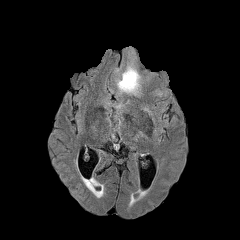
FLAIR MR image.
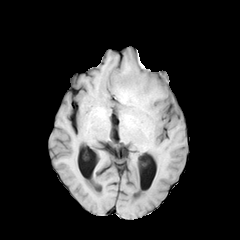
Same slice, T1-weighted MRI.
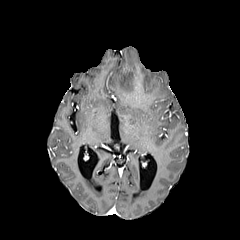
Same slice, post-contrast T1-weighted MR image.
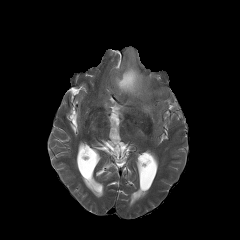
T2-weighted MR image of the same slice.
Brain
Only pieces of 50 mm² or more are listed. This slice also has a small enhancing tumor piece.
The peritumoral edema is at rect(117, 66, 141, 94).